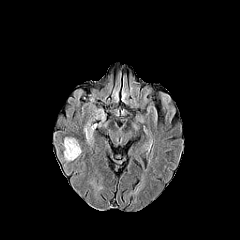
FLAIR MR.
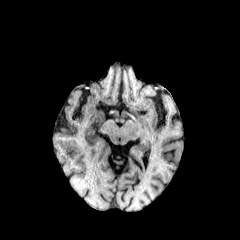
T1-weighted magnetic resonance.
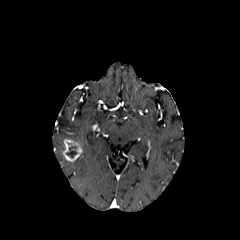
Same slice, post-contrast T1-weighted MR.
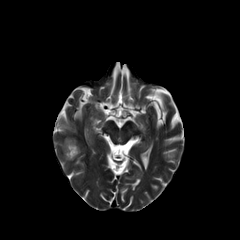
Same slice, T2-weighted MR image.
240x240; Axial slice; Head
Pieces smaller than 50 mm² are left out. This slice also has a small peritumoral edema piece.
{
  "enhancing_tumor": [
    "rect(63, 138, 82, 161)"
  ],
  "necrotic_tumor_core": [
    "rect(66, 146, 77, 158)"
  ]
}